Slice index 63; Image width 240 mm, 1.00 mm slice spacing
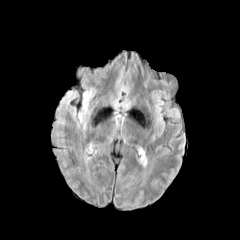
FLAIR magnetic resonance.
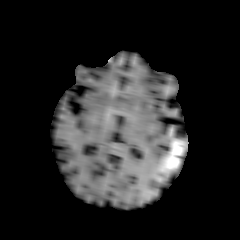
Same slice, T1-weighted MR image.
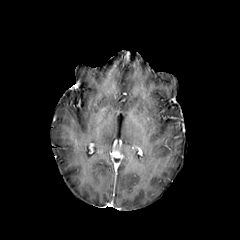
Post-contrast T1-weighted MR image.
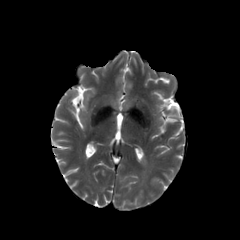
T2-weighted MR of the same slice.
<segmentation>
  <peritumoral_edema>bbox(140, 150, 146, 165)</peritumoral_edema>
</segmentation>